FLAIR magnetic resonance.
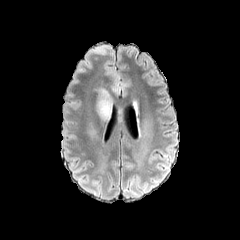
T1-weighted MR.
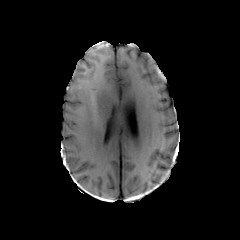
Post-contrast T1-weighted MR.
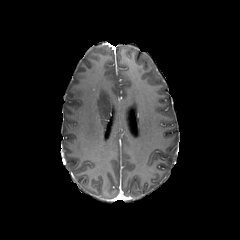
T2-weighted MR.
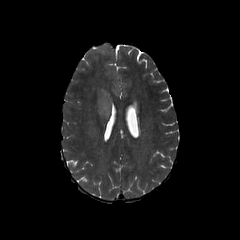
Axial slice. Head.
peritumoral_edema:
  - 97:88:111:119